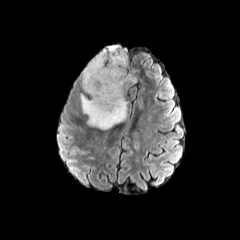
FLAIR MR image.
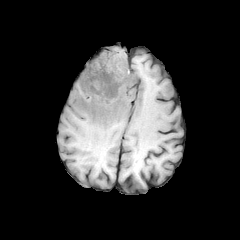
T1-weighted MR of the same slice.
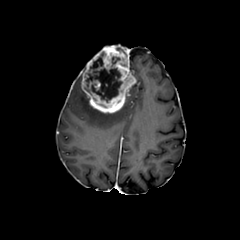
Post-contrast T1-weighted MRI.
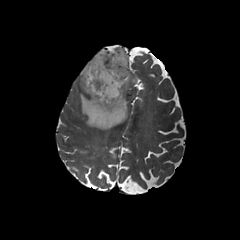
T2-weighted MR of the same slice.
240x240 px
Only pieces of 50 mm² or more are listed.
<segmentation>
  <enhancing_tumor>rect(81, 44, 136, 113); rect(88, 81, 100, 89)</enhancing_tumor>
  <necrotic_tumor_core>rect(85, 52, 122, 102)</necrotic_tumor_core>
  <peritumoral_edema>rect(79, 93, 127, 129)</peritumoral_edema>
</segmentation>